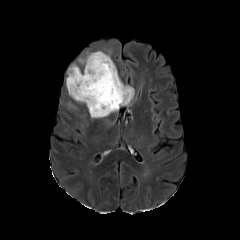
FLAIR MRI.
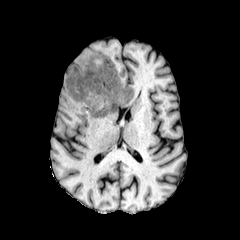
Same slice, T1-weighted magnetic resonance.
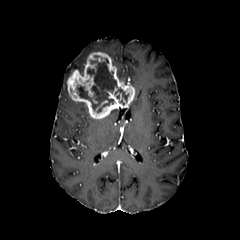
Same slice, post-contrast T1-weighted magnetic resonance.
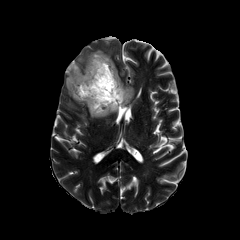
T2-weighted magnetic resonance of the same slice.
Head
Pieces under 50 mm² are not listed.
necrotic tumor core: [115, 88, 128, 102], [77, 59, 116, 112]
enhancing tumor: [67, 52, 134, 118]
peritumoral edema: [66, 64, 83, 86], [78, 52, 90, 63]